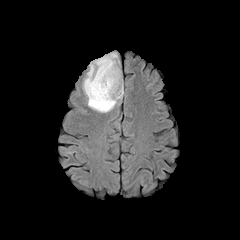
FLAIR magnetic resonance.
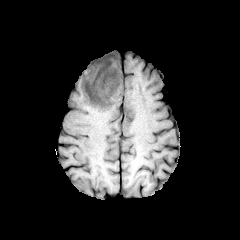
Same slice, T1-weighted magnetic resonance.
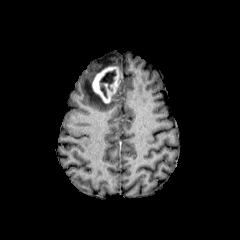
Post-contrast T1-weighted MRI of the same slice.
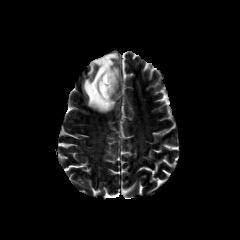
T2-weighted MRI of the same slice.
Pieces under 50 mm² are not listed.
Annotated regions:
• enhancing tumor: x1=92 y1=66 x2=121 y2=103
• peritumoral edema: x1=82 y1=52 x2=123 y2=112
• necrotic tumor core: x1=100 y1=70 x2=116 y2=90